FLAIR magnetic resonance.
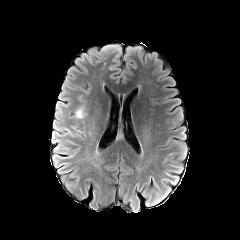
T1-weighted MR image.
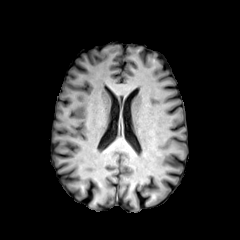
Post-contrast T1-weighted MRI.
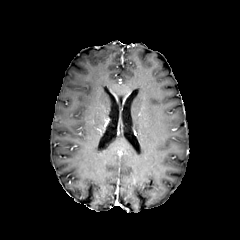
T2-weighted MR image.
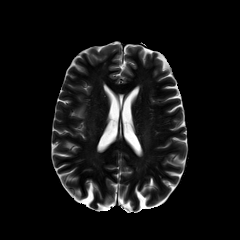
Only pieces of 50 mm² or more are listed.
peritumoral edema: bounding box x1=75, y1=104, x2=86, y2=119